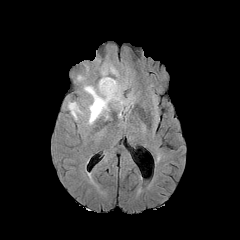
FLAIR MRI.
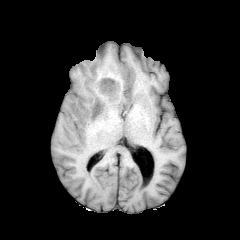
Same slice, T1-weighted MR.
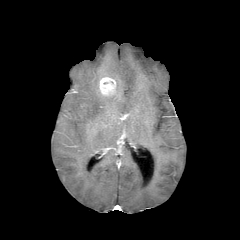
Post-contrast T1-weighted magnetic resonance of the same slice.
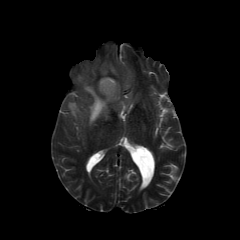
T2-weighted magnetic resonance.
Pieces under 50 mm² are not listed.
{"enhancing_tumor": ["x1=99, y1=77, x2=116, y2=96"], "peritumoral_edema": ["x1=84, y1=83, x2=119, y2=124", "x1=68, y1=102, x2=81, y2=119"]}